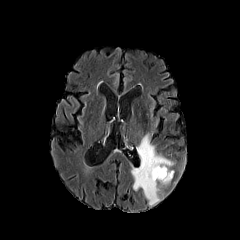
FLAIR MRI.
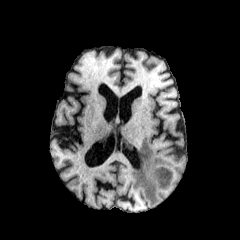
T1-weighted MR image.
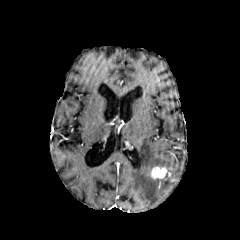
Post-contrast T1-weighted MR image of the same slice.
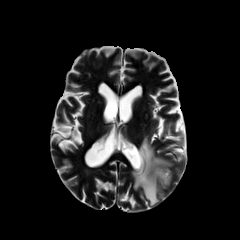
Same slice, T2-weighted MR image.
Brain
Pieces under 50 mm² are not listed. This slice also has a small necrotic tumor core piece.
peritumoral edema = left=131, top=134, right=173, bottom=205
enhancing tumor = left=150, top=167, right=171, bottom=179